FLAIR MR image.
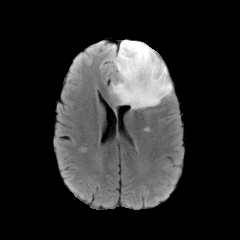
T1-weighted MRI.
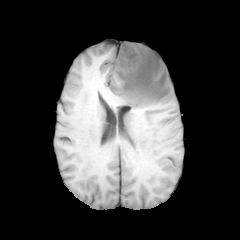
Post-contrast T1-weighted MR image.
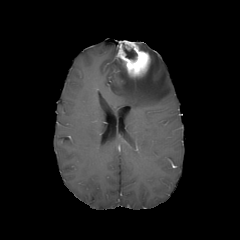
T2-weighted MR image.
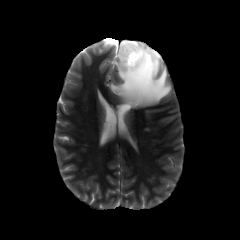
Axial slice
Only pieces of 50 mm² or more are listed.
enhancing tumor: bbox(116, 40, 150, 77)
necrotic tumor core: bbox(124, 47, 136, 59)
peritumoral edema: bbox(110, 43, 172, 109)